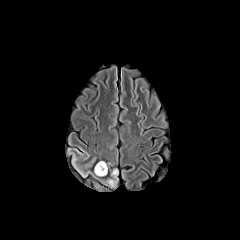
FLAIR MRI.
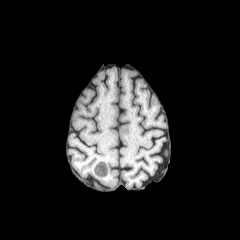
T1-weighted MR.
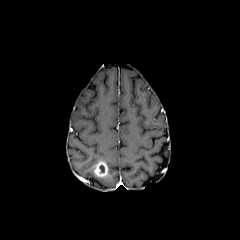
Post-contrast T1-weighted MRI.
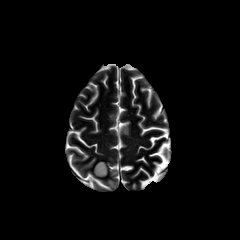
T2-weighted MR image of the same slice.
Brain.
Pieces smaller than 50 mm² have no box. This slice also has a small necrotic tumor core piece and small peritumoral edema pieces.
<segmentation>
  <enhancing_tumor>l=94, t=161, r=107, b=177</enhancing_tumor>
</segmentation>